Brain, 240x240
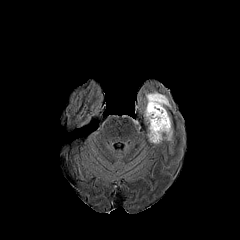
FLAIR magnetic resonance.
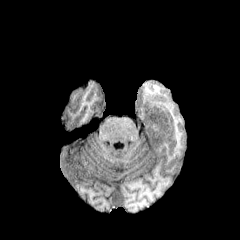
T1-weighted MR.
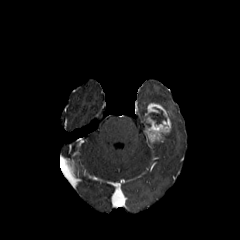
Post-contrast T1-weighted MR of the same slice.
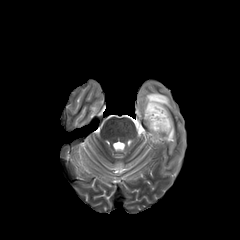
T2-weighted magnetic resonance.
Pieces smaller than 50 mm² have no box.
enhancing_tumor:
  - box=[144, 103, 171, 142]
peritumoral_edema:
  - box=[164, 128, 175, 146]
  - box=[137, 81, 176, 114]
necrotic_tumor_core:
  - box=[149, 109, 166, 124]